Brain. Image covers 240 mm x 240 mm. Slice index 102.
FLAIR MR.
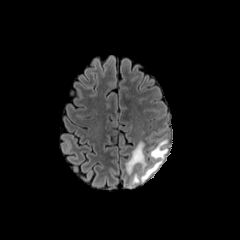
T1-weighted magnetic resonance.
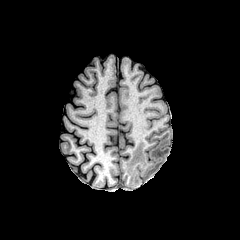
Post-contrast T1-weighted MR image.
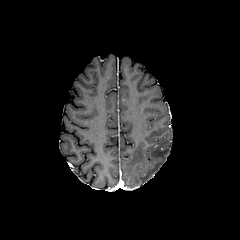
T2-weighted magnetic resonance.
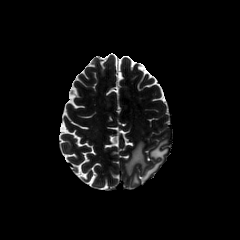
peritumoral edema: box=[126, 139, 168, 183]